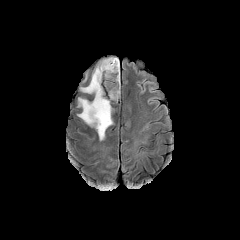
FLAIR MR image.
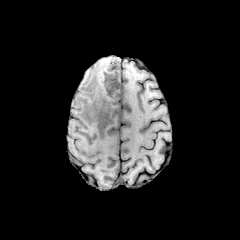
T1-weighted magnetic resonance.
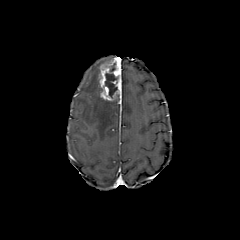
Post-contrast T1-weighted MR image.
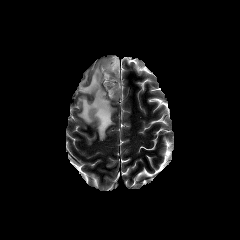
T2-weighted MR.
Axial slice.
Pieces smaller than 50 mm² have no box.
necrotic tumor core: bounding box box=[105, 73, 117, 97]
peritumoral edema: bounding box box=[78, 57, 113, 140]
enhancing tumor: bounding box box=[99, 57, 121, 100]